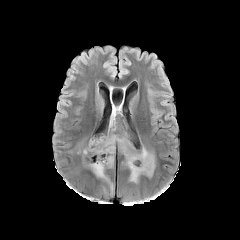
FLAIR MRI.
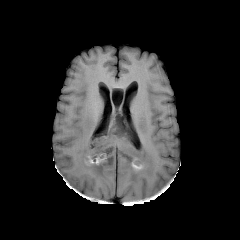
T1-weighted MR.
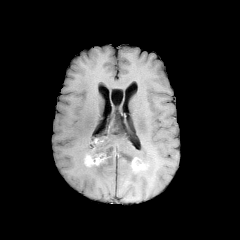
Post-contrast T1-weighted MR.
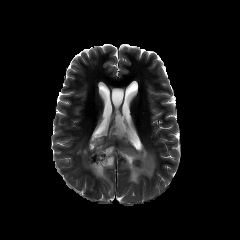
T2-weighted MRI of the same slice.
Image size 240x240 | Head | Axial view
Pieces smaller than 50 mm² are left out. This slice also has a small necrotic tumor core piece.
Annotated regions:
* peritumoral edema: 83 134 155 190, 109 108 115 130
* enhancing tumor: 84 153 106 166, 131 158 145 170, 91 138 103 150